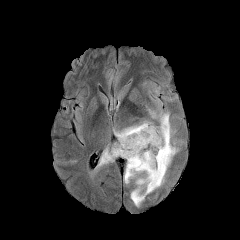
FLAIR magnetic resonance.
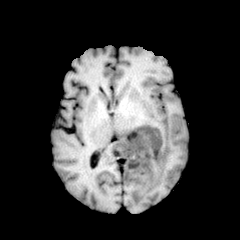
T1-weighted MR of the same slice.
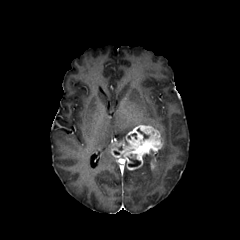
Post-contrast T1-weighted MR of the same slice.
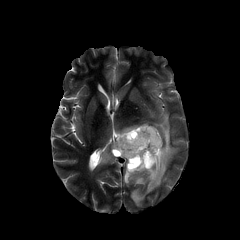
Same slice, T2-weighted MR image.
Head. Axial slice.
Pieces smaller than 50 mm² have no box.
enhancing_tumor:
  - <box>111,125,163,170</box>
necrotic_tumor_core:
  - <box>128,158,140,166</box>
peritumoral_edema:
  - <box>114,125,138,141</box>
  - <box>99,147,114,166</box>
  - <box>124,113,177,206</box>